FLAIR MR image.
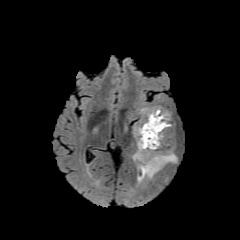
T1-weighted MRI.
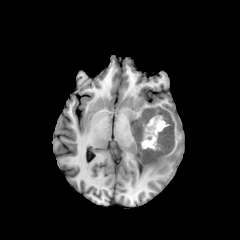
Post-contrast T1-weighted MR image.
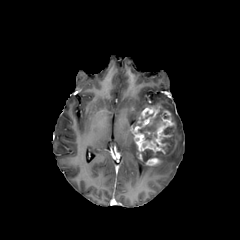
T2-weighted MR image.
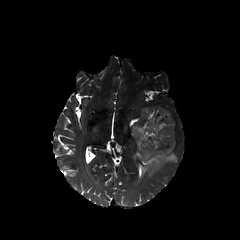
Image size 240x240 | Head | Axial slice
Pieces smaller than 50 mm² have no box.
enhancing tumor: x1=132 y1=106 x2=174 y2=162, x1=144 y1=156 x2=160 y2=165 | necrotic tumor core: x1=141 y1=149 x2=162 y2=162, x1=138 y1=108 x2=168 y2=141, x1=161 y1=126 x2=172 y2=150 | peritumoral edema: x1=138 y1=146 x2=178 y2=182, x1=132 y1=148 x2=141 y2=161